Axial slice.
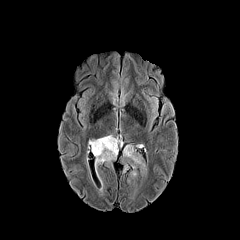
FLAIR MRI.
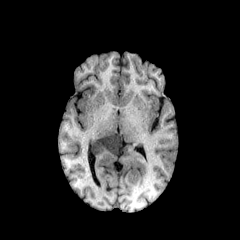
T1-weighted magnetic resonance.
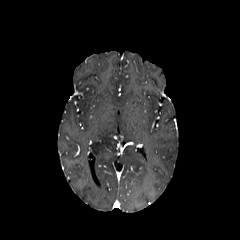
Same slice, post-contrast T1-weighted MR.
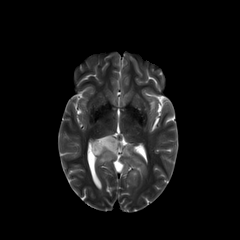
T2-weighted MRI.
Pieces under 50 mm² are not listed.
Annotated regions:
* peritumoral edema: (left=123, top=145, right=146, bottom=173), (left=90, top=135, right=118, bottom=168)